Axial view. Image width 240 mm, 1.00 mm slice spacing. Slice 55 of 155. Brain.
FLAIR MR image.
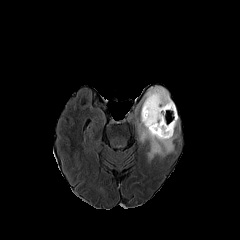
T1-weighted magnetic resonance.
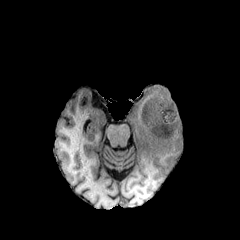
Post-contrast T1-weighted magnetic resonance.
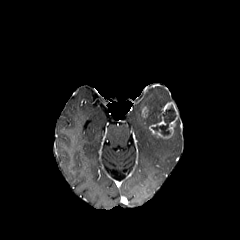
T2-weighted MRI.
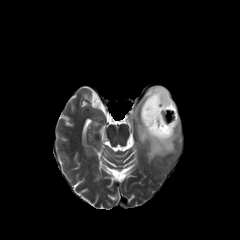
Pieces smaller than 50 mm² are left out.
The necrotic tumor core lies within [152,105,176,135]. 2 enhancing tumor regions are located at [149,101,178,138], [142,106,148,117]. The largest peritumoral edema region is located at [137,86,177,160].